Axial plane | Head
FLAIR MR image.
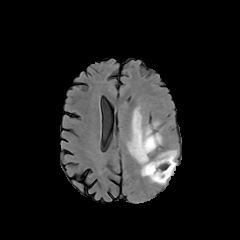
T1-weighted MR.
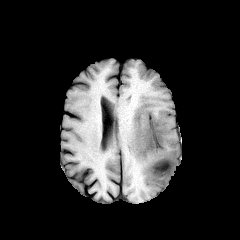
Post-contrast T1-weighted magnetic resonance.
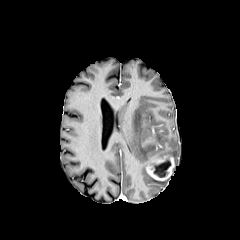
T2-weighted MR.
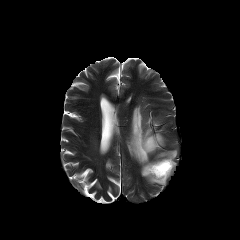
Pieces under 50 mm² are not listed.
peritumoral edema: bounding box (127,106,177,184)
enhancing tumor: bounding box (144,136,155,144), (146,157,174,180)
necrotic tumor core: bounding box (151,159,171,177)